Axial slice | Image covers 240 mm x 240 mm
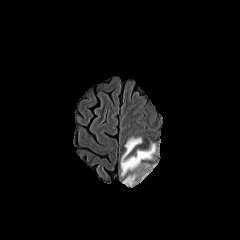
FLAIR MRI.
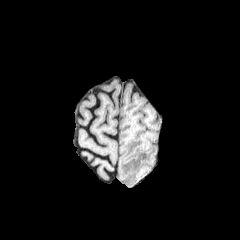
T1-weighted magnetic resonance.
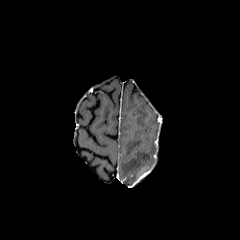
Post-contrast T1-weighted MRI.
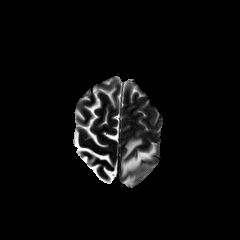
Same slice, T2-weighted MR.
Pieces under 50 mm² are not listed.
Annotated regions:
- enhancing tumor: 137:166:148:177
- peritumoral edema: 123:173:137:185, 121:138:155:176